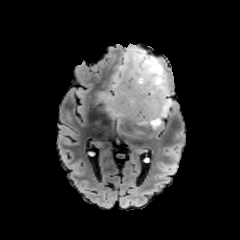
FLAIR MRI.
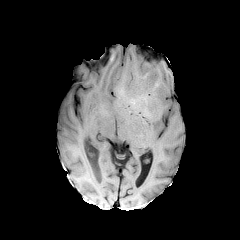
T1-weighted magnetic resonance.
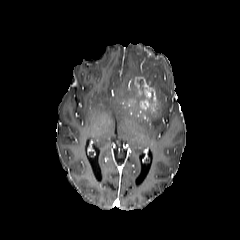
Post-contrast T1-weighted MR image.
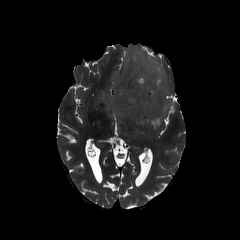
Same slice, T2-weighted MR image.
Image size 240x240, Brain
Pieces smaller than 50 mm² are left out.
The largest necrotic tumor core region appears at rect(138, 79, 147, 97). The enhancing tumor is located at rect(128, 76, 159, 115). The peritumoral edema is bounded by rect(98, 45, 173, 138).